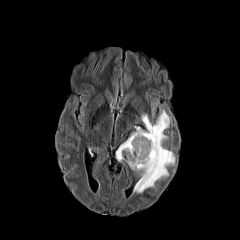
FLAIR magnetic resonance.
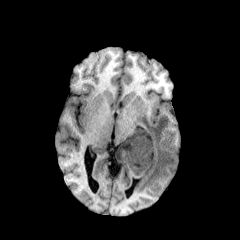
T1-weighted magnetic resonance.
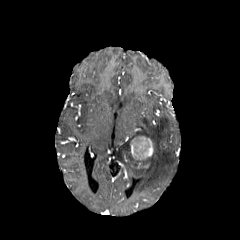
Post-contrast T1-weighted MR image.
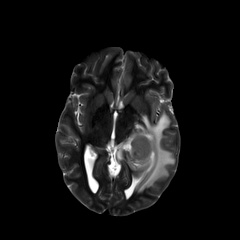
T2-weighted MR image.
Image size 240x240.
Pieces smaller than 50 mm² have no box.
• peritumoral edema: 116, 110, 175, 193
• enhancing tumor: 130, 136, 153, 159